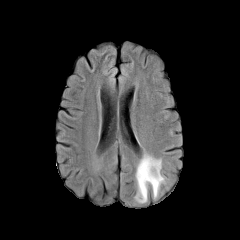
FLAIR MRI.
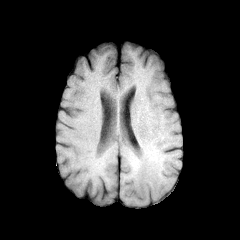
T1-weighted MR image.
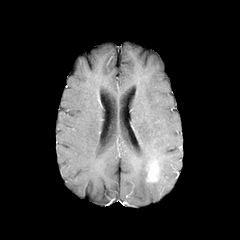
Post-contrast T1-weighted MRI.
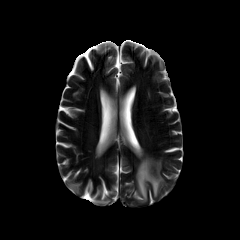
T2-weighted magnetic resonance.
Brain
peritumoral edema = box(134, 153, 166, 203)
enhancing tumor = box(146, 162, 158, 181)